Slice 97/155. Brain.
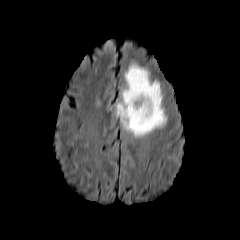
FLAIR MR.
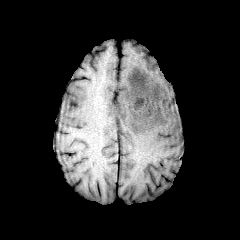
T1-weighted MR.
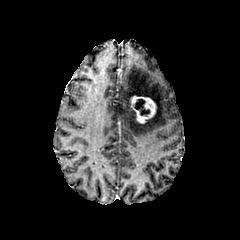
Post-contrast T1-weighted MR image.
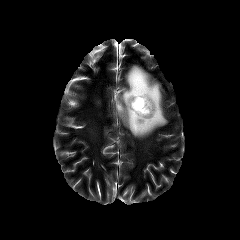
T2-weighted magnetic resonance of the same slice.
{
  "peritumoral_edema": [
    "(x1=116, y1=64, x2=166, y2=137)"
  ],
  "enhancing_tumor": [
    "(x1=130, y1=95, x2=156, y2=123)"
  ],
  "necrotic_tumor_core": [
    "(x1=134, y1=99, x2=149, y2=115)"
  ]
}